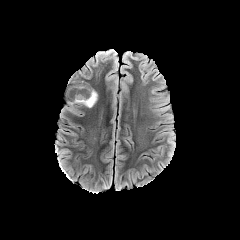
FLAIR MR.
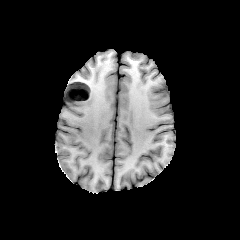
T1-weighted MR.
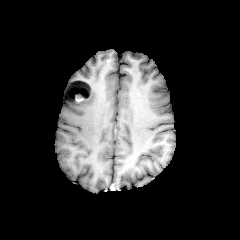
Post-contrast T1-weighted magnetic resonance of the same slice.
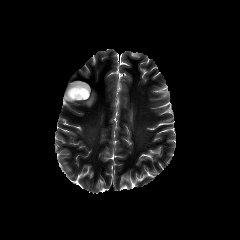
T2-weighted MRI.
Axial view, Brain
{
  "peritumoral_edema": [
    "x1=65 y1=88 x2=97 y2=107"
  ],
  "enhancing_tumor": [
    "x1=68 y1=88 x2=90 y2=101"
  ],
  "necrotic_tumor_core": [
    "x1=67 y1=81 x2=89 y2=99",
    "x1=69 y1=89 x2=89 y2=98"
  ]
}